FLAIR MR image.
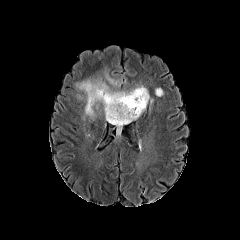
T1-weighted MR image.
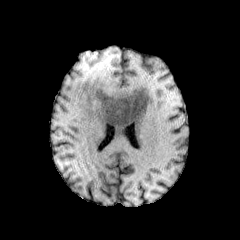
Post-contrast T1-weighted MR.
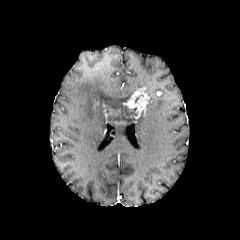
T2-weighted MR image.
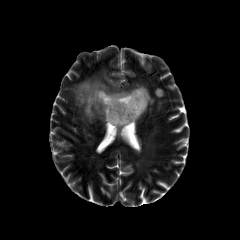
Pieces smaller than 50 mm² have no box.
Annotated regions:
* enhancing tumor: [x1=123, y1=87, x2=149, y2=118]
* peritumoral edema: [x1=77, y1=80, x2=143, y2=120], [x1=115, y1=118, x2=135, y2=134]
* necrotic tumor core: [x1=103, y1=103, x2=137, y2=124]